Slice 77 of 155, Axial slice, Image size 240x240
FLAIR magnetic resonance.
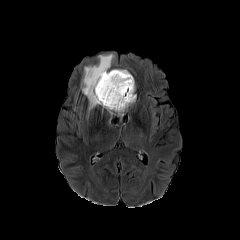
T1-weighted MRI.
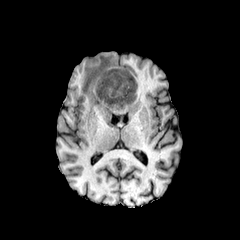
Post-contrast T1-weighted magnetic resonance.
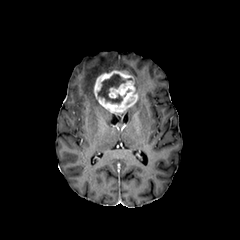
T2-weighted MRI.
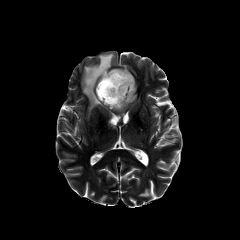
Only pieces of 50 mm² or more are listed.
enhancing tumor = (94, 70, 137, 115)
peritumoral edema = (82, 53, 114, 110)
necrotic tumor core = (98, 74, 125, 103)